Image size 240x240. Brain.
FLAIR MRI.
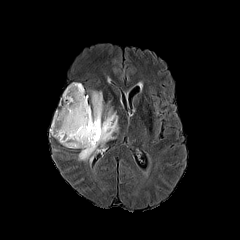
T1-weighted MR.
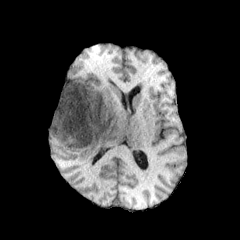
Post-contrast T1-weighted MR.
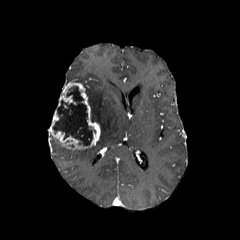
T2-weighted MR image.
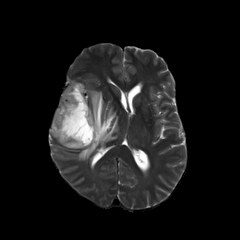
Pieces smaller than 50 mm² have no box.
Findings:
• peritumoral edema: 78, 90, 118, 162
• enhancing tumor: 49, 82, 100, 149
• necrotic tumor core: 53, 86, 95, 145